FLAIR MRI.
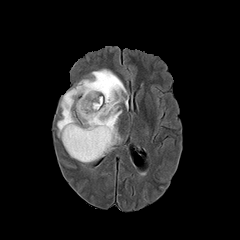
T1-weighted MR.
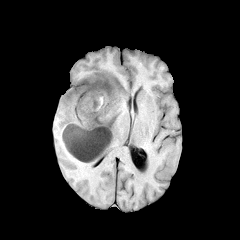
Post-contrast T1-weighted MR.
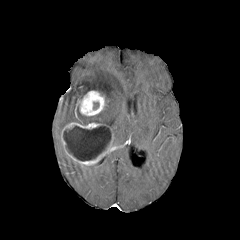
T2-weighted magnetic resonance.
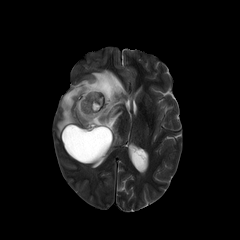
Axial plane, 240x240 px, Brain
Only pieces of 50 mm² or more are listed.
The peritumoral edema lies within (57, 69, 127, 148). The largest necrotic tumor core region lies within (63, 125, 110, 160). 2 enhancing tumor regions are bounded by (61, 122, 113, 164), (76, 90, 106, 116).